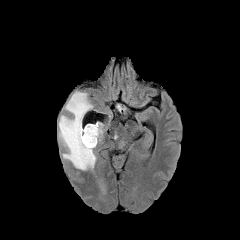
FLAIR MRI.
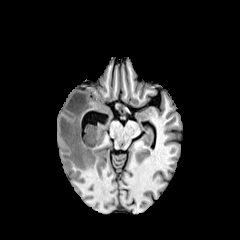
T1-weighted magnetic resonance.
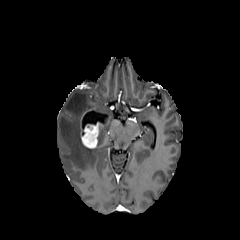
Post-contrast T1-weighted magnetic resonance.
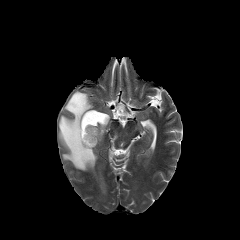
T2-weighted MR.
Brain
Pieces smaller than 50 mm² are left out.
enhancing tumor — x1=80 y1=109 x2=100 y2=148
peritumoral edema — x1=98 y1=124 x2=102 y2=141, x1=58 y1=91 x2=96 y2=170